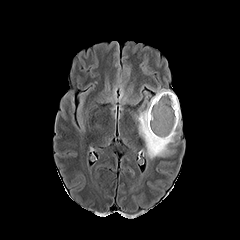
FLAIR magnetic resonance.
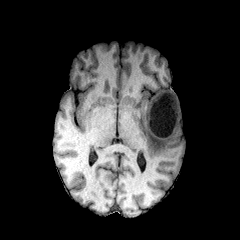
T1-weighted MR.
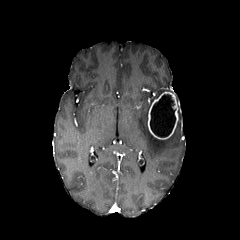
Post-contrast T1-weighted MR image.
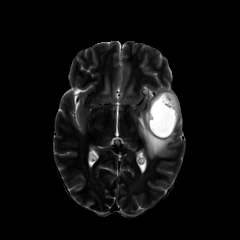
Same slice, T2-weighted MRI.
Brain. Axial slice.
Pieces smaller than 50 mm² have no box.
- enhancing tumor: box=[148, 91, 179, 139]
- necrotic tumor core: box=[150, 94, 175, 137]
- peritumoral edema: box=[176, 106, 182, 128]; box=[137, 89, 177, 158]